Brain
FLAIR MR image.
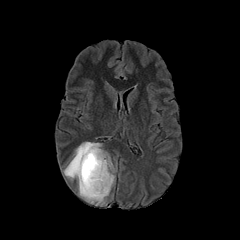
T1-weighted MR.
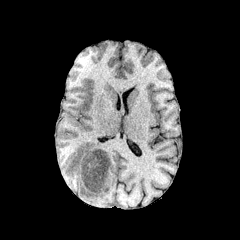
Post-contrast T1-weighted MR.
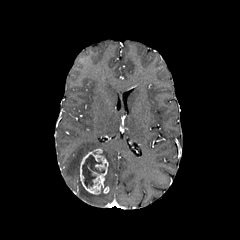
T2-weighted magnetic resonance.
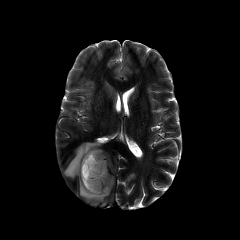
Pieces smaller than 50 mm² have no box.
• peritumoral edema: [63,142,109,205], [102,149,114,190]
• enhancing tumor: [80,148,109,194]
• necrotic tumor core: [82,155,104,187]